Head | Image width 240 mm
FLAIR magnetic resonance.
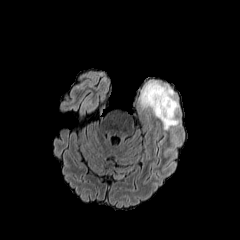
T1-weighted MR.
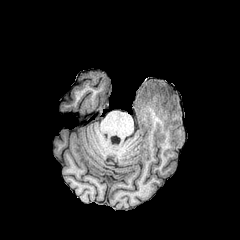
Post-contrast T1-weighted MR.
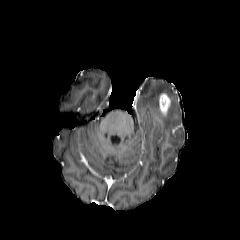
T2-weighted MR.
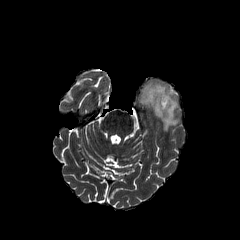
The enhancing tumor is at [158,93,171,116]. The peritumoral edema is bounded by [140,82,179,130].